FLAIR MR image.
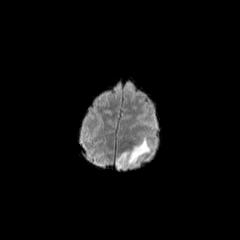
T1-weighted MR image.
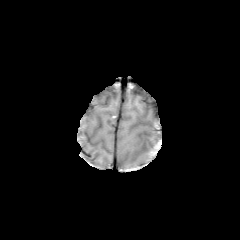
Post-contrast T1-weighted MR.
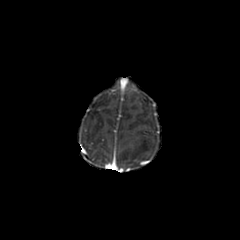
T2-weighted MR image.
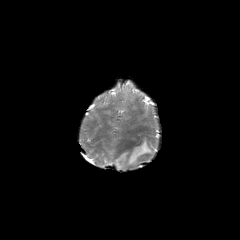
240x240
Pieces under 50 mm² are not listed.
peritumoral edema: {"x1": 117, "y1": 137, "x2": 150, "y2": 167}